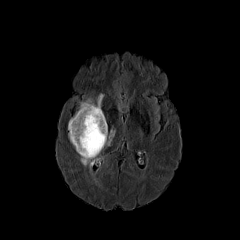
FLAIR magnetic resonance.
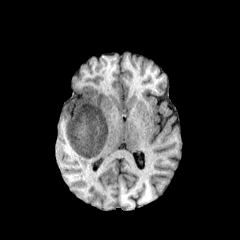
T1-weighted MR image.
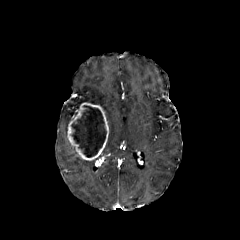
Post-contrast T1-weighted MR.
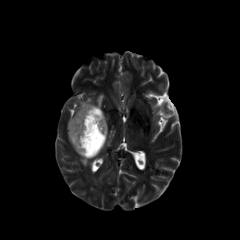
T2-weighted magnetic resonance of the same slice.
Axial view; Head
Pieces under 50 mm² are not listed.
Segmented structures:
* enhancing tumor: <bbox>67, 102, 108, 160</bbox>
* necrotic tumor core: <bbox>71, 105, 106, 157</bbox>
* peritumoral edema: <bbox>96, 93, 103, 106</bbox>, <bbox>80, 158, 99, 169</bbox>, <bbox>106, 129, 115, 145</bbox>